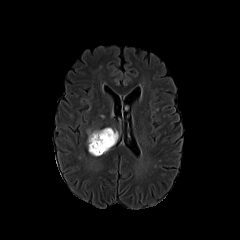
FLAIR MRI.
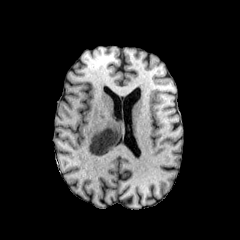
T1-weighted MR of the same slice.
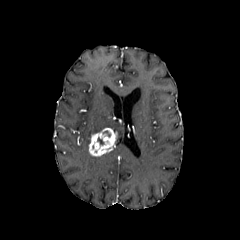
Same slice, post-contrast T1-weighted magnetic resonance.
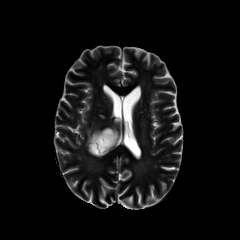
T2-weighted MR.
Image size 240x240
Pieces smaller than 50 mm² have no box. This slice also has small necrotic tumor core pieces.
{
  "peritumoral_edema": [
    "[87,129,101,151]"
  ],
  "enhancing_tumor": [
    "[89,128,117,156]"
  ]
}